FLAIR MR.
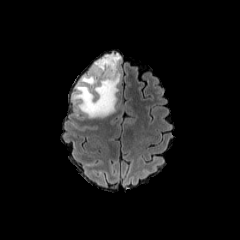
T1-weighted MR.
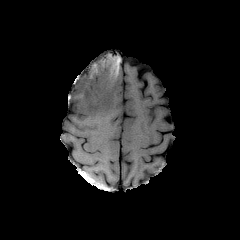
Post-contrast T1-weighted MR image.
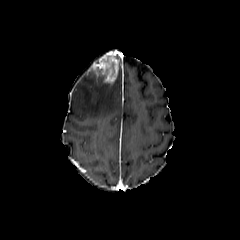
T2-weighted MRI.
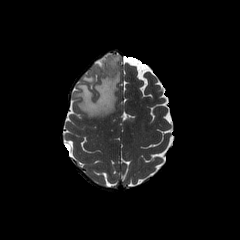
Axial slice | Brain
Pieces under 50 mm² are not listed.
The largest peritumoral edema region is bounded by 73,66,120,118. The enhancing tumor appears at 89,53,118,84.